Axial slice
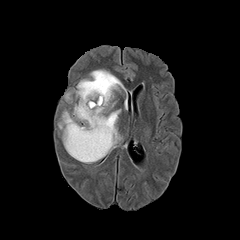
FLAIR MRI.
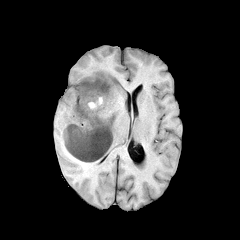
Same slice, T1-weighted MR.
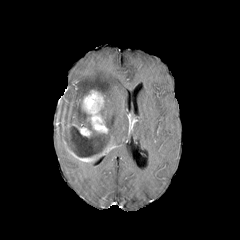
Post-contrast T1-weighted MR image.
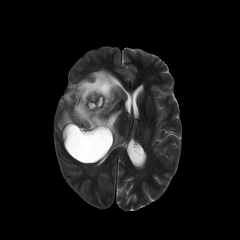
T2-weighted magnetic resonance of the same slice.
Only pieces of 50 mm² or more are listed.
necrotic tumor core: bbox=[69, 126, 94, 156]
peritumoral edema: bbox=[58, 69, 125, 148]
enhancing tumor: bbox=[64, 89, 113, 162]